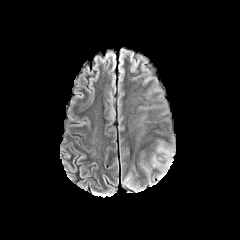
FLAIR MR image.
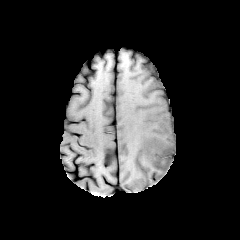
Same slice, T1-weighted magnetic resonance.
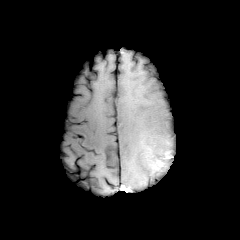
Post-contrast T1-weighted MRI.
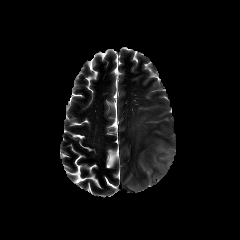
T2-weighted MR.
Axial slice | 240x240 px | Brain
peritumoral edema: bounding box l=159, t=158, r=172, b=179; l=153, t=146, r=173, b=167
enhancing tumor: bounding box l=162, t=150, r=171, b=160; l=155, t=160, r=165, b=169